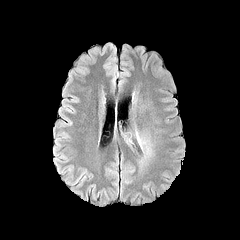
FLAIR MR image.
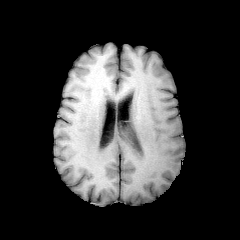
T1-weighted MR image of the same slice.
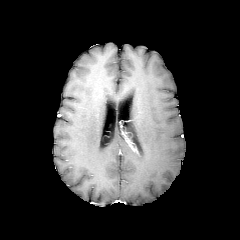
Post-contrast T1-weighted MR.
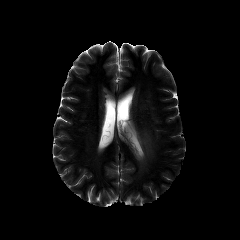
T2-weighted MR image.
240x240
peritumoral edema: [134, 129, 151, 157]